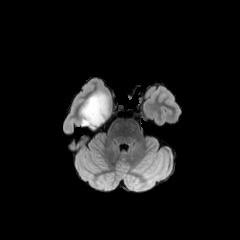
FLAIR MR.
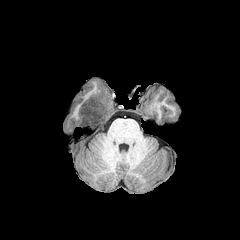
T1-weighted MR image.
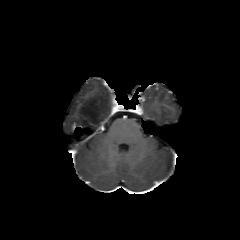
Post-contrast T1-weighted MR of the same slice.
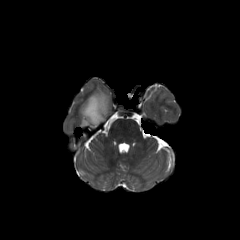
T2-weighted MR image of the same slice.
Axial plane | 240x240
peritumoral edema — bbox(80, 91, 111, 135)